Image width 240 mm; Head; Slice 56/155; Axial plane
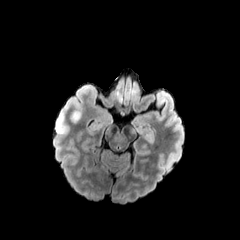
FLAIR MR image.
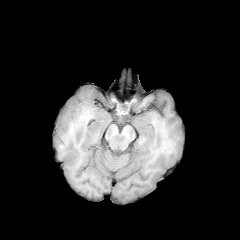
T1-weighted MR.
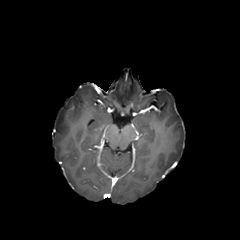
Post-contrast T1-weighted MRI.
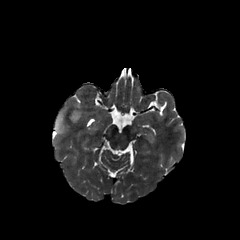
Same slice, T2-weighted MRI.
peritumoral edema — {"x1": 72, "y1": 112, "x2": 80, "y2": 122}, {"x1": 56, "y1": 113, "x2": 64, "y2": 132}